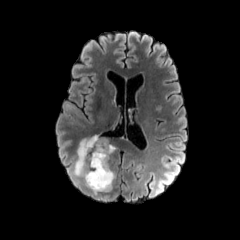
FLAIR MRI.
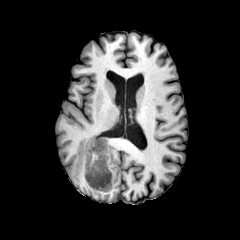
T1-weighted MR of the same slice.
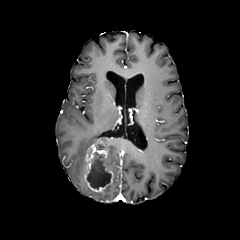
Post-contrast T1-weighted magnetic resonance.
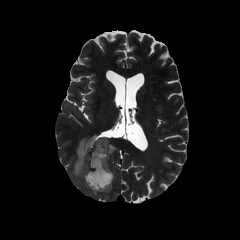
T2-weighted MR image.
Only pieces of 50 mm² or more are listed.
<segmentation>
  <enhancing_tumor>box(84, 138, 113, 192)</enhancing_tumor>
  <necrotic_tumor_core>box(87, 152, 111, 189)</necrotic_tumor_core>
  <peritumoral_edema>box(106, 144, 115, 168); box(74, 135, 98, 175)</peritumoral_edema>
</segmentation>